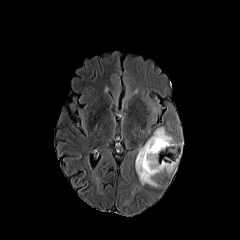
FLAIR MR.
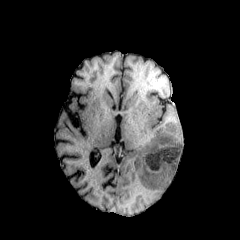
T1-weighted magnetic resonance.
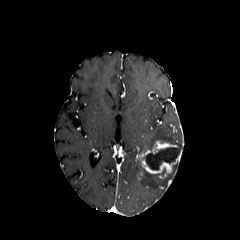
Post-contrast T1-weighted MR image.
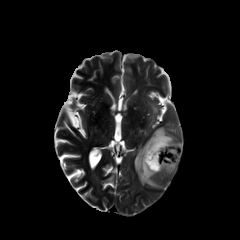
T2-weighted magnetic resonance.
Brain. Axial view.
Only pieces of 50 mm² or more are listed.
Annotated regions:
* peritumoral edema: l=135, t=161, r=158, b=187; l=138, t=127, r=181, b=153
* enhancing tumor: l=136, t=140, r=181, b=174
* necrotic tumor core: l=145, t=148, r=179, b=170